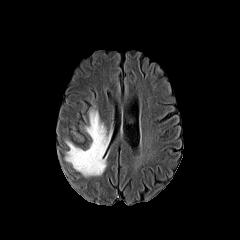
FLAIR magnetic resonance.
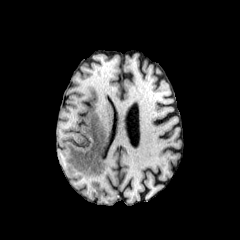
Same slice, T1-weighted MR.
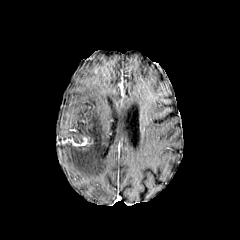
Post-contrast T1-weighted magnetic resonance.
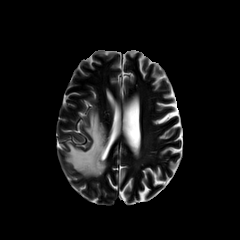
T2-weighted magnetic resonance of the same slice.
Brain.
The peritumoral edema lies within bbox=[65, 109, 108, 176].